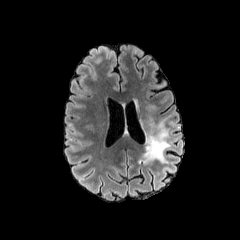
FLAIR MR.
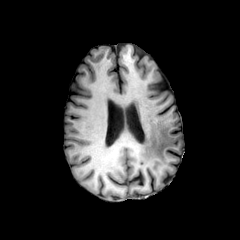
T1-weighted MRI.
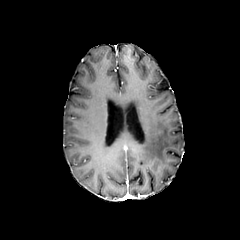
Same slice, post-contrast T1-weighted magnetic resonance.
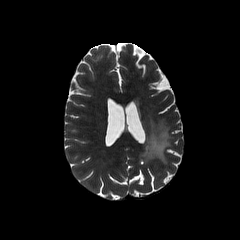
T2-weighted MRI.
Head.
peritumoral edema at (142, 120, 171, 163)